240x240; Image width 240 mm; Axial view
FLAIR MRI.
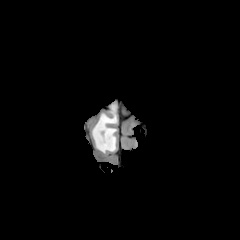
T1-weighted MRI.
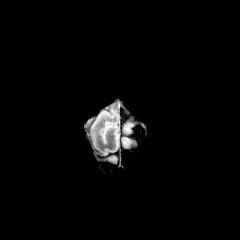
Post-contrast T1-weighted MR image.
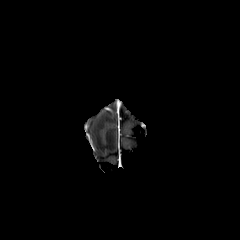
T2-weighted MRI.
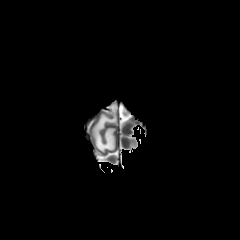
<segmentation>
  <peritumoral_edema>x1=92, y1=104, x2=116, y2=153</peritumoral_edema>
</segmentation>